FLAIR MRI.
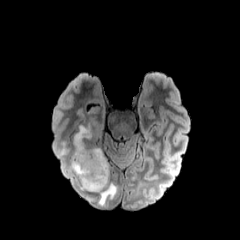
T1-weighted MR.
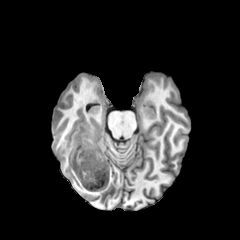
Post-contrast T1-weighted MR.
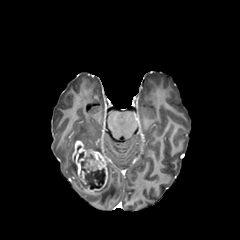
T2-weighted MR image.
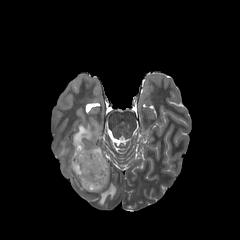
Axial slice, Head
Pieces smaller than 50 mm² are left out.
enhancing_tumor:
  - 72:140:107:192
necrotic_tumor_core:
  - 80:154:105:189
peritumoral_edema:
  - 56:124:103:176
  - 94:161:117:205